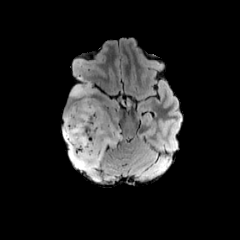
FLAIR MR image.
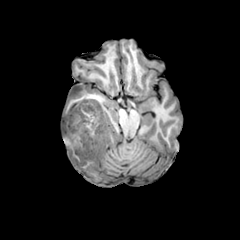
T1-weighted MRI of the same slice.
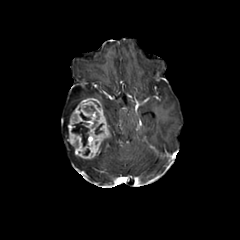
Post-contrast T1-weighted MRI.
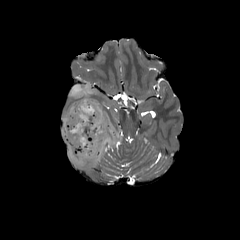
T2-weighted MRI of the same slice.
Image size 240x240, Axial slice
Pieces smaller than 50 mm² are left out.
The largest enhancing tumor region is at left=67, top=98, right=110, bottom=159. The largest necrotic tumor core region is at left=72, top=122, right=88, bottom=146. The 2 largest peritumoral edema regions appear at left=63, top=105, right=114, bottom=169; left=70, top=82, right=95, bottom=98.